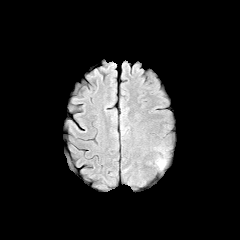
FLAIR MR image.
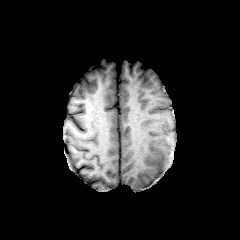
T1-weighted magnetic resonance of the same slice.
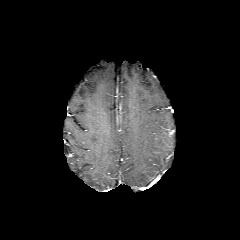
Post-contrast T1-weighted magnetic resonance.
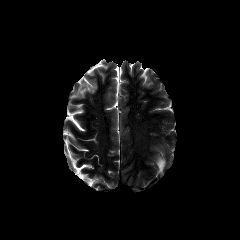
T2-weighted MRI of the same slice.
240x240. Head.
Findings:
• peritumoral edema: 156 158 165 169